Head
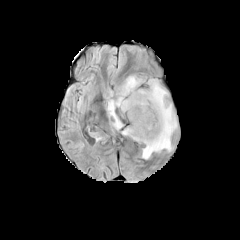
FLAIR MRI.
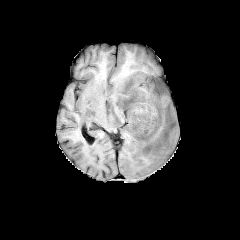
Same slice, T1-weighted magnetic resonance.
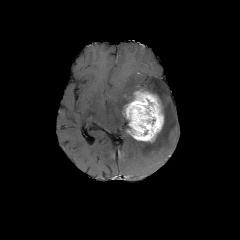
Same slice, post-contrast T1-weighted magnetic resonance.
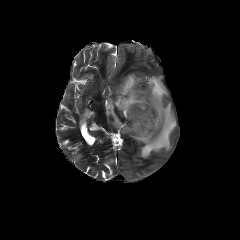
T2-weighted MRI.
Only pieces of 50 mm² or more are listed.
The enhancing tumor is bounded by (123, 90, 164, 142). The 2 largest peritumoral edema regions appear at (137, 78, 176, 158), (107, 75, 142, 129).